Slice index 53. Axial slice. 240x240. Brain.
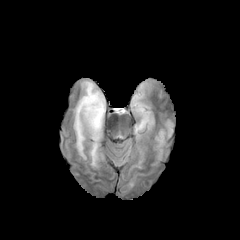
FLAIR magnetic resonance.
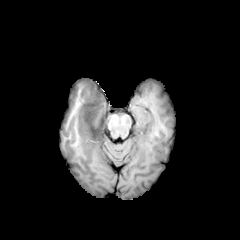
T1-weighted MR image.
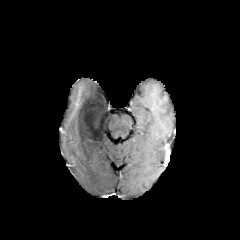
Same slice, post-contrast T1-weighted MRI.
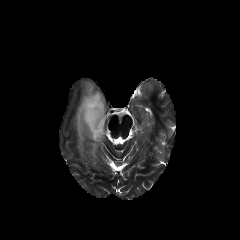
Same slice, T2-weighted MR.
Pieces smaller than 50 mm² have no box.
Findings:
- necrotic tumor core: [78, 89, 103, 140]
- peritumoral edema: [89, 138, 101, 165], [74, 82, 95, 158]